240x240 px; Head; Slice index 72
FLAIR MRI.
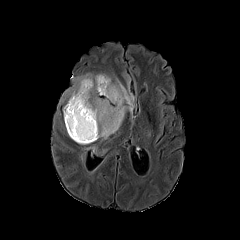
T1-weighted magnetic resonance.
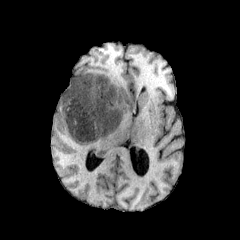
Post-contrast T1-weighted magnetic resonance.
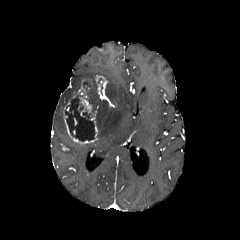
T2-weighted magnetic resonance.
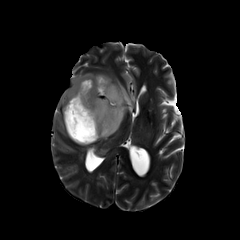
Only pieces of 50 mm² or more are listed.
{"necrotic_tumor_core": ["(left=65, top=95, right=94, bottom=141)"], "enhancing_tumor": ["(left=63, top=75, right=108, bottom=144)"], "peritumoral_edema": ["(left=91, top=74, right=135, bottom=139)", "(left=60, top=73, right=95, bottom=103)"]}